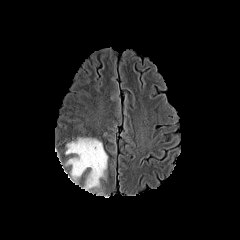
FLAIR MR.
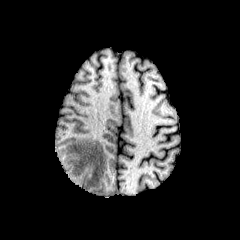
T1-weighted MR image of the same slice.
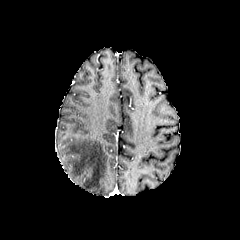
Post-contrast T1-weighted MRI.
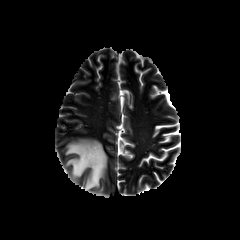
T2-weighted MR of the same slice.
Head
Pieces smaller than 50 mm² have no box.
The largest peritumoral edema region lies within bbox(65, 138, 107, 191).